Axial view; 240x240
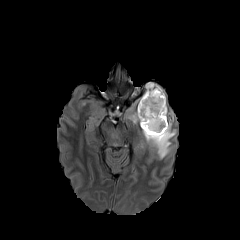
FLAIR MRI.
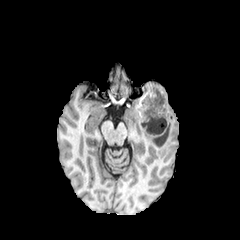
T1-weighted MR image.
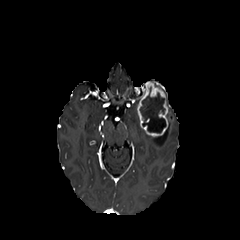
Post-contrast T1-weighted MRI of the same slice.
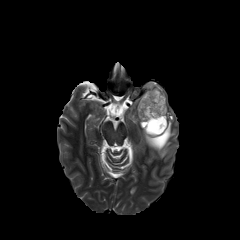
T2-weighted MR image of the same slice.
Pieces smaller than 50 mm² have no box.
necrotic tumor core: x1=140 y1=92 x2=165 y2=132
peritumoral edema: x1=128 y1=99 x2=139 y2=124, x1=142 y1=111 x2=176 y2=159
enhancing tumor: x1=137 y1=82 x2=168 y2=137